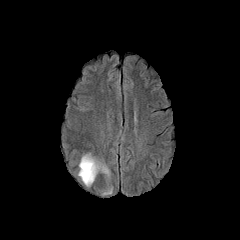
FLAIR MRI.
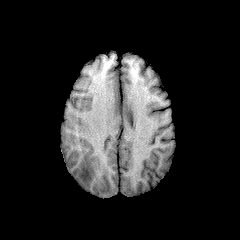
Same slice, T1-weighted MR image.
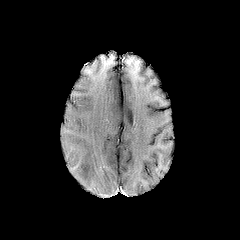
Same slice, post-contrast T1-weighted MR image.
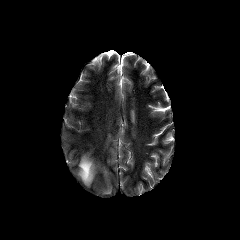
T2-weighted MR image.
Axial slice, Head
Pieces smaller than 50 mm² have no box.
The largest peritumoral edema region is at 78,155,98,185.